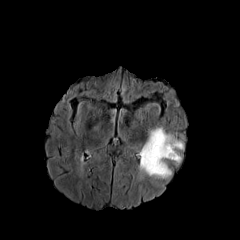
FLAIR magnetic resonance.
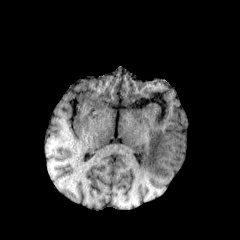
T1-weighted MRI.
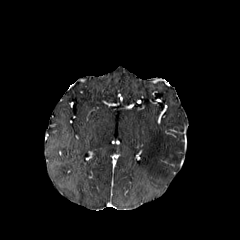
Same slice, post-contrast T1-weighted MR image.
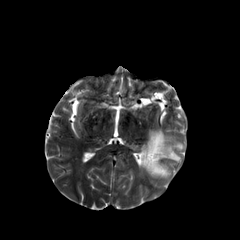
T2-weighted MR.
Head, Axial slice, Image size 240x240
peritumoral edema at 139 127 183 178